FLAIR magnetic resonance.
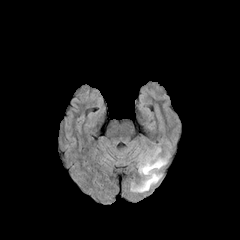
T1-weighted magnetic resonance.
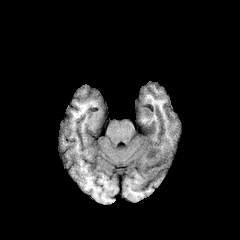
Post-contrast T1-weighted MRI.
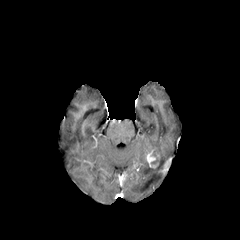
T2-weighted MR image.
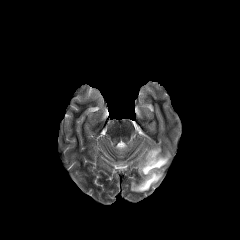
Head
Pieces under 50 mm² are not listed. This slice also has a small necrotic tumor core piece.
enhancing tumor at 146,150,159,168
peritumoral edema at 130,145,170,192